Slice 81/155. Image size 240x240. Head. Image width 240 mm, 1.00 mm slice spacing.
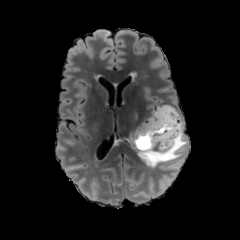
FLAIR MRI.
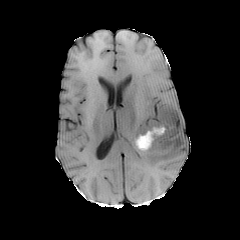
T1-weighted magnetic resonance of the same slice.
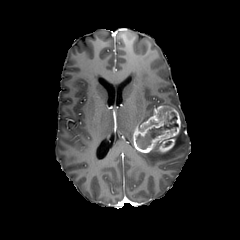
Same slice, post-contrast T1-weighted MR image.
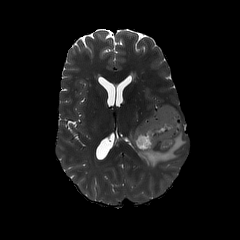
T2-weighted MRI.
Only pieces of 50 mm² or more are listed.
• peritumoral edema: <bbox>137, 115, 187, 167</bbox>
• necrotic tumor core: <bbox>136, 115, 177, 148</bbox>
• enhancing tumor: <bbox>133, 105, 181, 153</bbox>